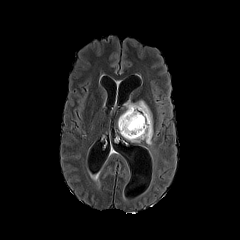
FLAIR MR image.
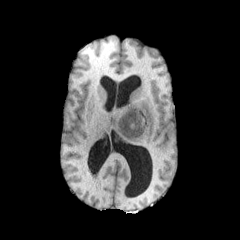
T1-weighted magnetic resonance of the same slice.
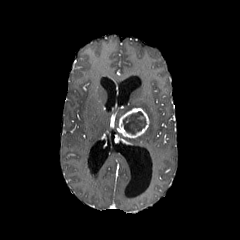
Post-contrast T1-weighted MR.
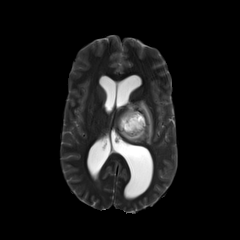
T2-weighted magnetic resonance.
The peritumoral edema appears at 125 100 153 144. The necrotic tumor core lies within 123 111 146 134. The enhancing tumor lies within 118 108 149 138.